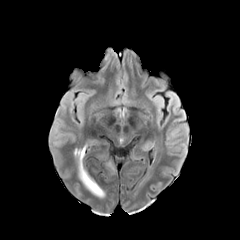
FLAIR magnetic resonance.
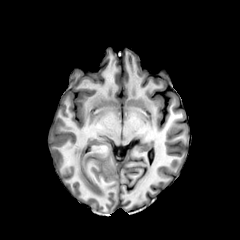
Same slice, T1-weighted MR image.
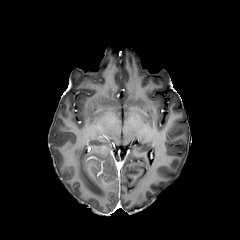
Post-contrast T1-weighted MRI.
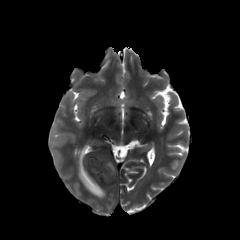
Same slice, T2-weighted MR.
Image size 240x240
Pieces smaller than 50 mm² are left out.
{"peritumoral_edema": ["74 146 104 197"]}